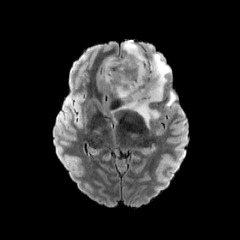
FLAIR MR.
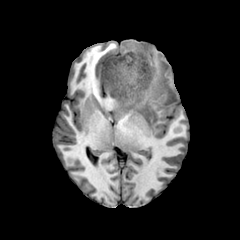
T1-weighted MR image.
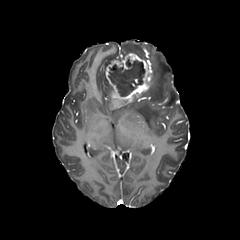
Post-contrast T1-weighted magnetic resonance.
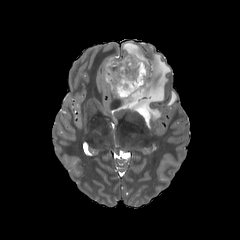
T2-weighted MR of the same slice.
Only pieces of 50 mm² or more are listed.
{"peritumoral_edema": ["bbox(166, 91, 176, 106)", "bbox(118, 53, 170, 127)", "bbox(122, 40, 147, 59)", "bbox(102, 57, 115, 91)"], "enhancing_tumor": ["bbox(104, 52, 152, 105)"], "necrotic_tumor_core": ["bbox(109, 59, 144, 96)"]}